FLAIR MRI.
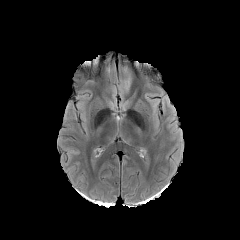
T1-weighted MR image.
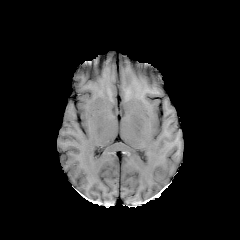
Post-contrast T1-weighted MR.
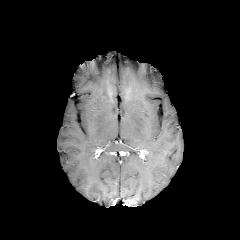
T2-weighted MRI.
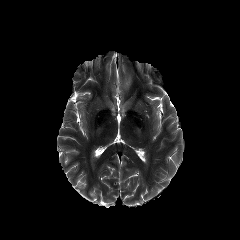
Image size 240x240.
peritumoral edema = bbox(119, 75, 131, 90)